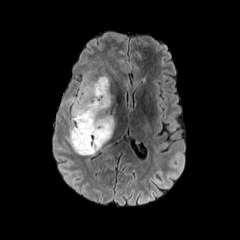
FLAIR magnetic resonance.
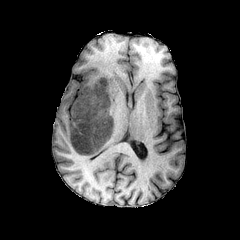
T1-weighted magnetic resonance of the same slice.
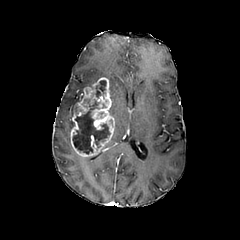
Post-contrast T1-weighted MR.
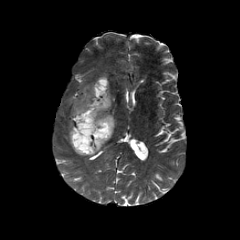
T2-weighted MRI of the same slice.
Axial view. 240x240 px. Head.
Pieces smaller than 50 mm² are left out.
enhancing_tumor:
  - [x1=70, y1=77, x2=115, y2=156]
necrotic_tumor_core:
  - [x1=72, y1=99, x2=110, y2=154]
  - [x1=95, y1=79, x2=106, y2=98]
peritumoral_edema:
  - [x1=61, y1=78, x2=96, y2=143]